Image width 240 mm | Head
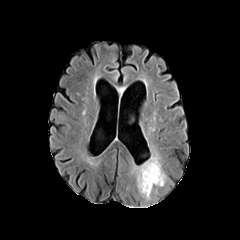
FLAIR MR image.
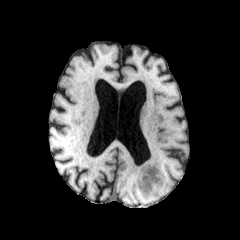
T1-weighted MRI.
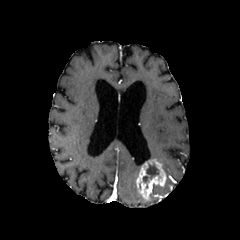
Post-contrast T1-weighted MR image.
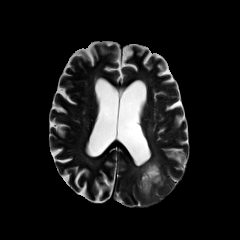
T2-weighted MR image.
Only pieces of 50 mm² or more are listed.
peritumoral edema = left=131, top=165, right=140, bottom=177; left=152, top=149, right=162, bottom=160
necrotic tumor core = left=146, top=164, right=158, bottom=180
enhancing tumor = left=136, top=159, right=166, bottom=200